240x240.
FLAIR MR image.
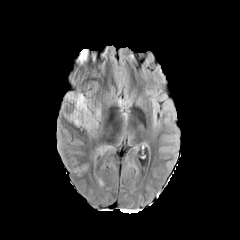
T1-weighted MR image.
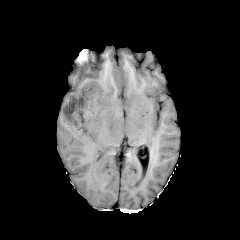
Post-contrast T1-weighted MRI.
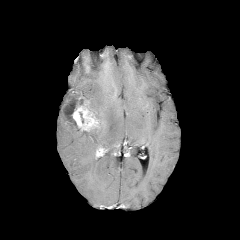
T2-weighted magnetic resonance.
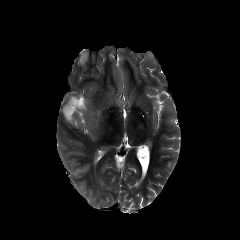
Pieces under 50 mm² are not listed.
The largest necrotic tumor core region lies within bbox=[63, 95, 83, 121]. The enhancing tumor lies within bbox=[61, 92, 97, 131]. The largest peritumoral edema region lies within bbox=[85, 101, 100, 130].